FLAIR MR image.
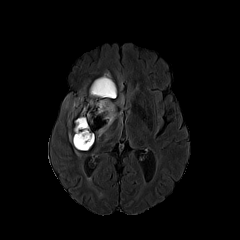
T1-weighted MR.
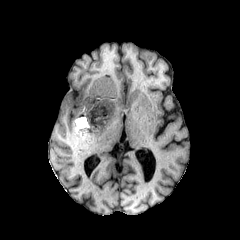
Post-contrast T1-weighted MRI.
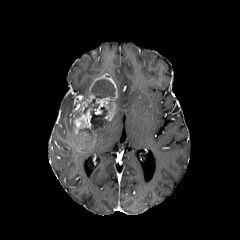
T2-weighted MRI.
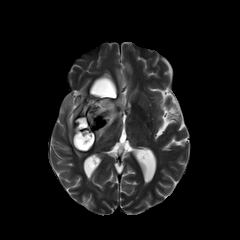
Brain, 240x240 px
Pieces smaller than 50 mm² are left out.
The 3 largest peritumoral edema regions are bounded by box=[97, 94, 125, 140]; box=[69, 128, 81, 156]; box=[63, 95, 76, 115]. The 3 largest necrotic tumor core regions are bounded by box=[91, 79, 115, 98]; box=[76, 107, 107, 147]; box=[80, 99, 95, 113]. The largest enhancing tumor region is at box=[73, 73, 117, 150].